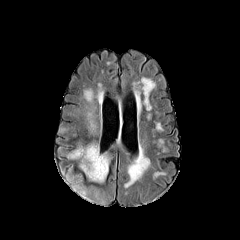
FLAIR MR.
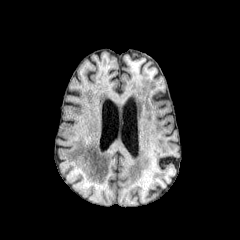
Same slice, T1-weighted MR.
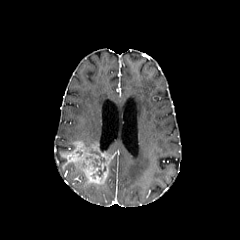
Same slice, post-contrast T1-weighted magnetic resonance.
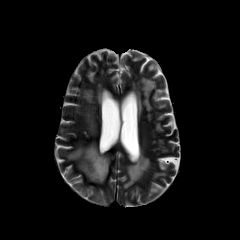
Same slice, T2-weighted MR image.
Axial slice. Brain.
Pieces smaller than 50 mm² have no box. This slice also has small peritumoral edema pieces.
enhancing tumor — left=57, top=142, right=111, bottom=184
necrotic tumor core — left=90, top=149, right=105, bottom=167